Image size 240x240.
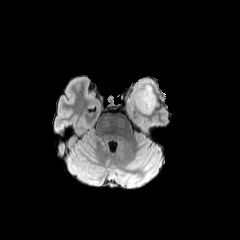
FLAIR MR.
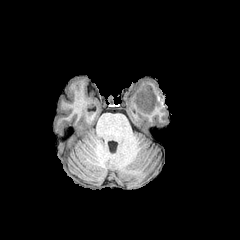
T1-weighted MRI.
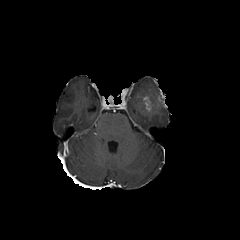
Same slice, post-contrast T1-weighted MR image.
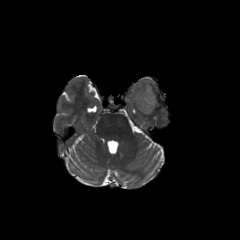
T2-weighted magnetic resonance.
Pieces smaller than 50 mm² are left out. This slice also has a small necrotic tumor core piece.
The largest enhancing tumor region is bounded by box(139, 94, 154, 111). The peritumoral edema is bounded by box(127, 78, 158, 113).